Head. Axial slice.
FLAIR MRI.
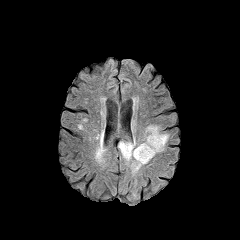
T1-weighted magnetic resonance.
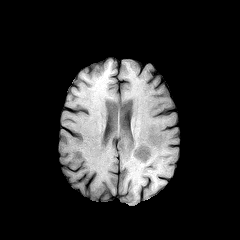
Post-contrast T1-weighted MRI.
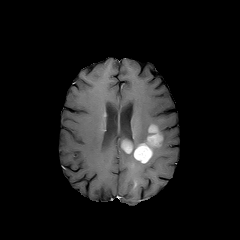
T2-weighted magnetic resonance.
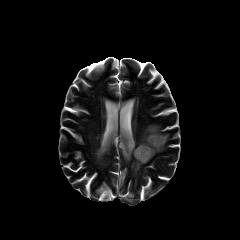
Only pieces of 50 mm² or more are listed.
peritumoral edema = 131, 159, 144, 173; 118, 135, 140, 161; 141, 125, 151, 142; 152, 132, 169, 157
enhancing tumor = 121, 140, 133, 153; 133, 125, 162, 163